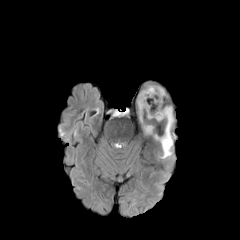
FLAIR MRI.
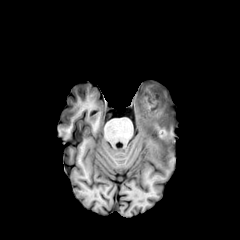
T1-weighted magnetic resonance.
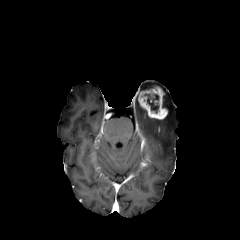
Post-contrast T1-weighted magnetic resonance of the same slice.
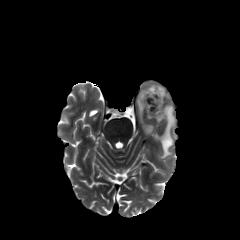
T2-weighted MRI.
Axial view. 240x240 px.
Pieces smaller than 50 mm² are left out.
peritumoral edema: bounding box [x1=138, y1=102, x2=142, y2=121], [x1=155, y1=105, x2=174, y2=158], [x1=144, y1=125, x2=153, y2=134]
enhancing tumor: bounding box [x1=138, y1=86, x2=167, y2=119]
necrotic tumor core: bounding box [x1=145, y1=94, x2=158, y2=112]